Brain; 240x240
FLAIR MR.
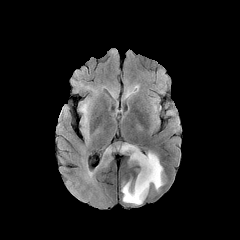
T1-weighted MR.
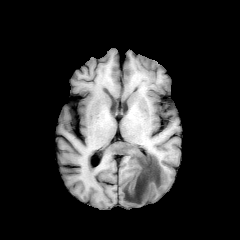
Post-contrast T1-weighted MR.
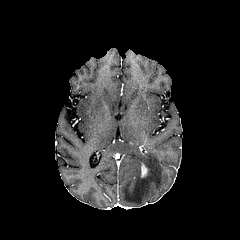
T2-weighted MRI.
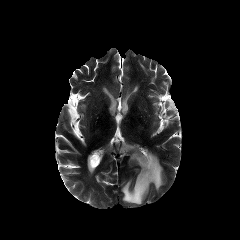
The enhancing tumor is located at (140, 162, 148, 177). 2 peritumoral edema regions appear at (80, 103, 87, 113), (120, 144, 163, 204).